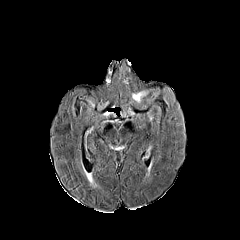
FLAIR MR image.
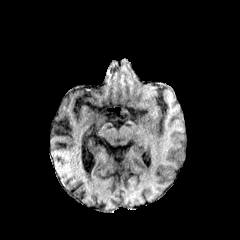
Same slice, T1-weighted MR image.
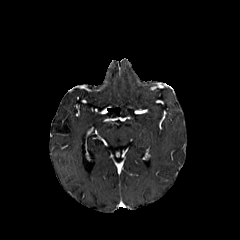
Post-contrast T1-weighted MRI.
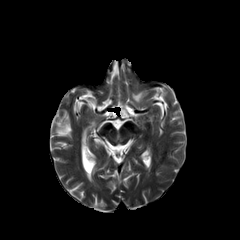
T2-weighted MR image.
Axial slice. Head. 240x240.
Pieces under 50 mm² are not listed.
The largest peritumoral edema region lies within 132, 92, 146, 102.